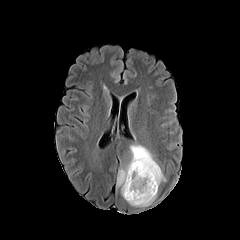
FLAIR magnetic resonance.
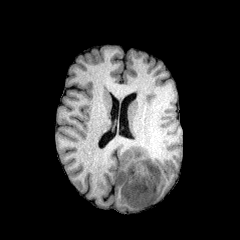
T1-weighted MR.
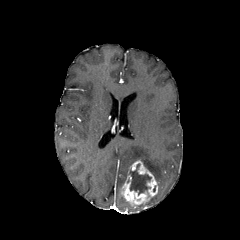
Same slice, post-contrast T1-weighted MR.
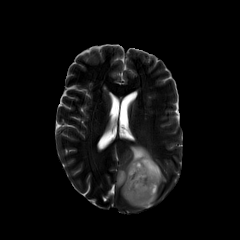
T2-weighted MR.
Brain
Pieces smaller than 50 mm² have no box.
enhancing_tumor:
  - (121, 160, 158, 207)
necrotic_tumor_core:
  - (129, 163, 151, 195)
peritumoral_edema:
  - (117, 145, 166, 187)